240x240, Axial view
FLAIR MR image.
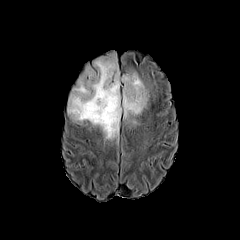
T1-weighted MRI.
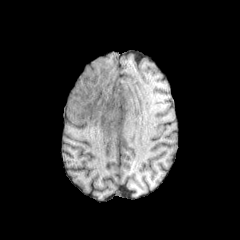
Post-contrast T1-weighted MRI.
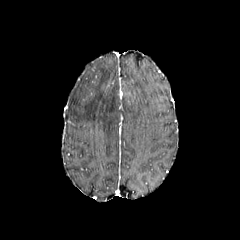
T2-weighted MRI.
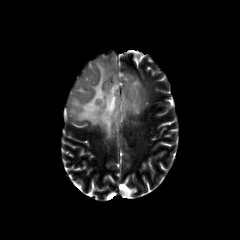
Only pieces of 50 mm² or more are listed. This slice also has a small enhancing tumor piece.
The peritumoral edema is bounded by bbox=[67, 52, 149, 139].